FLAIR MR image.
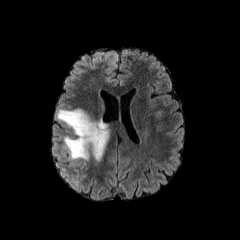
T1-weighted magnetic resonance.
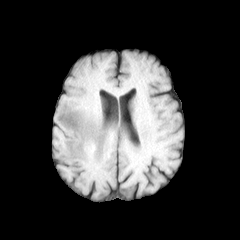
Post-contrast T1-weighted MR.
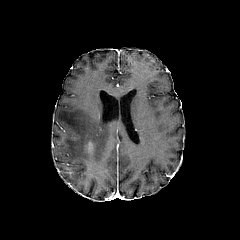
T2-weighted magnetic resonance.
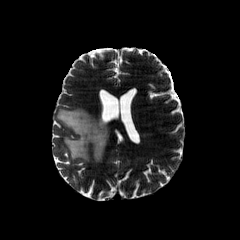
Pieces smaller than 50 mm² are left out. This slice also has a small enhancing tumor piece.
<segmentation>
  <peritumoral_edema>x1=56 y1=109 x2=109 y2=161</peritumoral_edema>
</segmentation>